FLAIR MR.
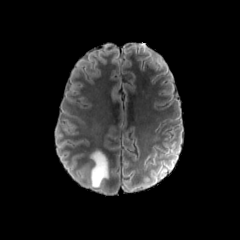
T1-weighted MR image.
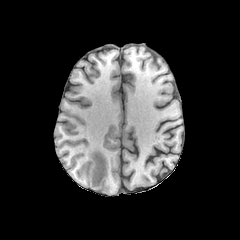
Post-contrast T1-weighted MR.
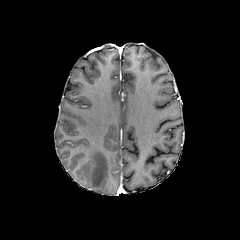
T2-weighted MR.
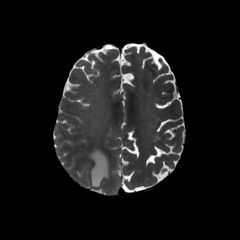
240x240. Brain.
* peritumoral edema: 91:151:108:187